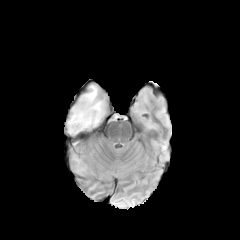
FLAIR MRI.
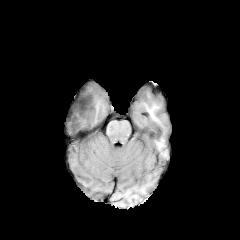
T1-weighted MR image of the same slice.
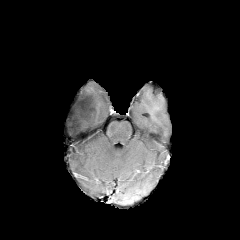
Post-contrast T1-weighted MRI.
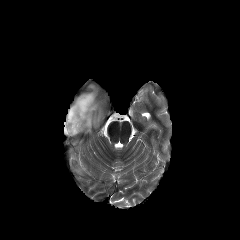
T2-weighted MR.
Head, Axial slice, 240x240
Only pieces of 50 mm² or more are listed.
The 2 largest peritumoral edema regions appear at bbox=[65, 79, 110, 135]; bbox=[71, 152, 86, 174].